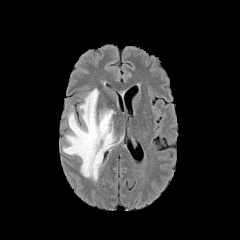
FLAIR magnetic resonance.
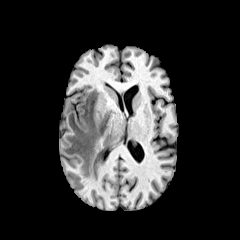
T1-weighted MR.
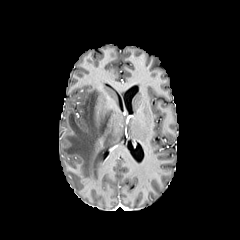
Post-contrast T1-weighted MR.
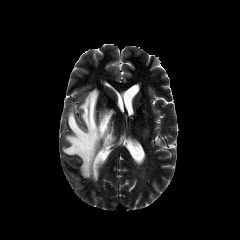
Same slice, T2-weighted MRI.
Axial slice
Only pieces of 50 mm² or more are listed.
peritumoral_edema:
  - x1=63, y1=89, x2=116, y2=181